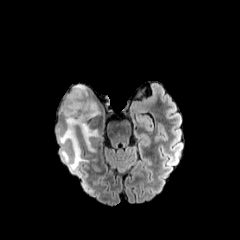
FLAIR magnetic resonance.
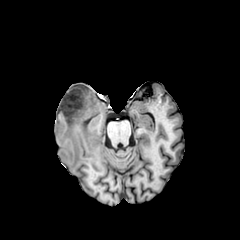
T1-weighted MR image.
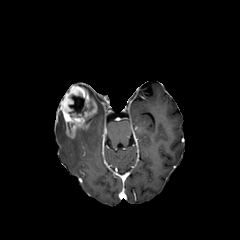
Post-contrast T1-weighted MRI.
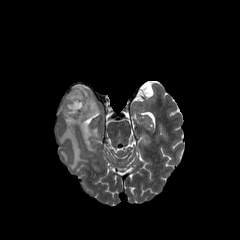
T2-weighted MR image.
Brain
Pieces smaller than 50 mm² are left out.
necrotic tumor core: box=[69, 95, 92, 115] | peritumoral edema: box=[80, 127, 98, 151]; box=[57, 128, 87, 170] | enhancing tumor: box=[59, 85, 97, 138]